Slice index 71. 240x240.
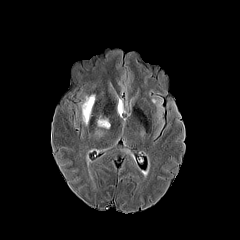
FLAIR MR.
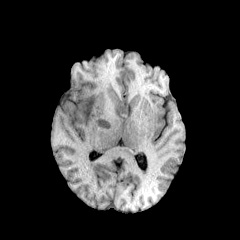
T1-weighted magnetic resonance of the same slice.
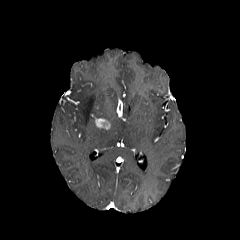
Post-contrast T1-weighted MR of the same slice.
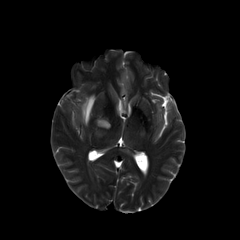
T2-weighted MR.
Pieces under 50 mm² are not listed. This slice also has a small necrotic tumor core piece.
2 enhancing tumor regions are located at bbox=[95, 118, 110, 129]; bbox=[117, 99, 122, 115]. The largest peritumoral edema region lies within bbox=[82, 95, 95, 125].